Head. Image size 240x240.
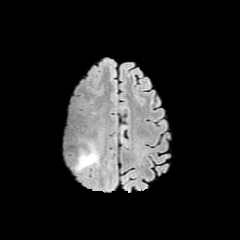
FLAIR magnetic resonance.
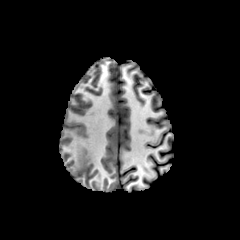
Same slice, T1-weighted magnetic resonance.
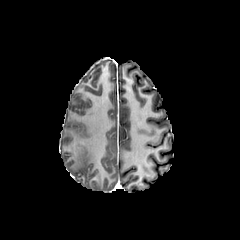
Post-contrast T1-weighted MRI of the same slice.
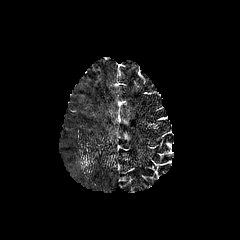
T2-weighted MRI.
{"peritumoral_edema": ["76, 143, 101, 170"]}